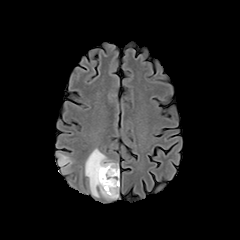
FLAIR MR image.
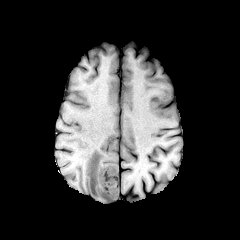
T1-weighted MR.
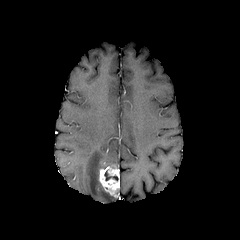
Post-contrast T1-weighted magnetic resonance.
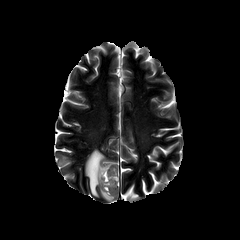
T2-weighted MR of the same slice.
Axial view
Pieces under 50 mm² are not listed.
peritumoral edema — [58, 155, 71, 166], [85, 148, 117, 200]
enhancing tumor — [99, 165, 117, 197]
necrotic tumor core — [104, 171, 117, 180]